Slice 39 of 155 | Axial plane | Brain
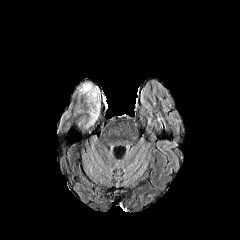
FLAIR magnetic resonance.
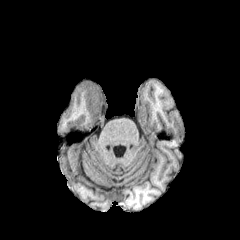
Same slice, T1-weighted MR image.
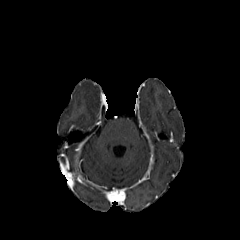
Same slice, post-contrast T1-weighted magnetic resonance.
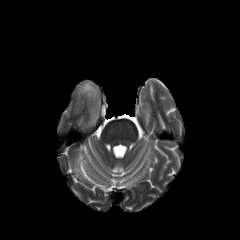
T2-weighted MRI of the same slice.
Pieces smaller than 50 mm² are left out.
The largest peritumoral edema region appears at <bbox>79, 82, 99, 113</bbox>.